FLAIR MR image.
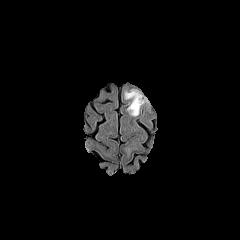
T1-weighted magnetic resonance.
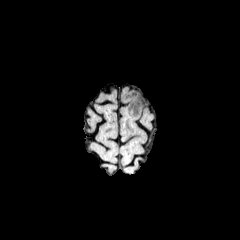
Post-contrast T1-weighted MRI.
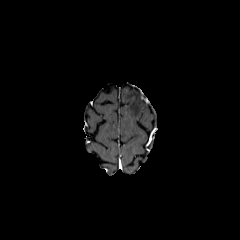
T2-weighted MR image.
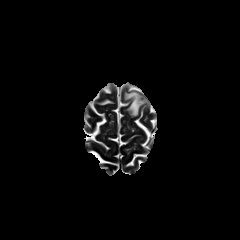
Axial slice
The peritumoral edema lies within 124,89,144,116.